FLAIR MR image.
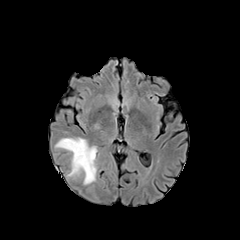
T1-weighted magnetic resonance.
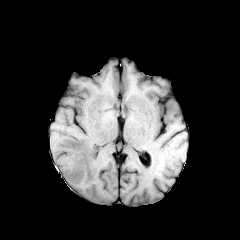
Post-contrast T1-weighted MR image.
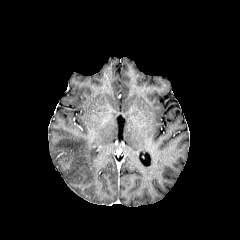
T2-weighted MR.
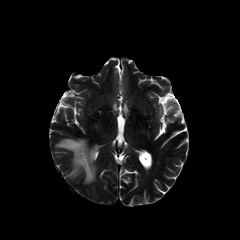
Axial slice. Brain.
peritumoral_edema:
  - (left=55, top=138, right=96, bottom=184)